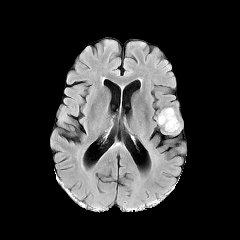
FLAIR MR image.
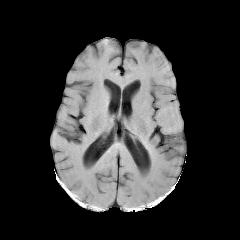
T1-weighted MR of the same slice.
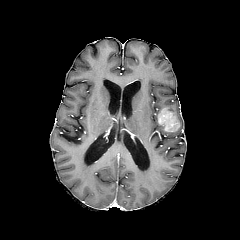
Same slice, post-contrast T1-weighted MR.
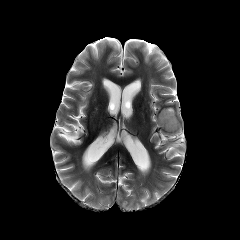
T2-weighted MRI of the same slice.
Axial view. Head.
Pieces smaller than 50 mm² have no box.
peritumoral edema: <bbox>163, 107, 182, 134</bbox>
enhancing tumor: <bbox>158, 108, 180, 131</bbox>